FLAIR MRI.
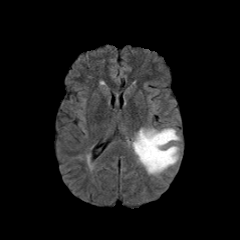
T1-weighted magnetic resonance.
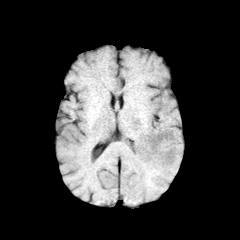
Post-contrast T1-weighted MR image.
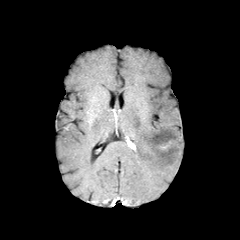
T2-weighted MR image.
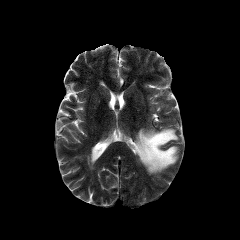
Head
Findings:
• peritumoral edema: [x1=133, y1=127, x2=179, y2=175]